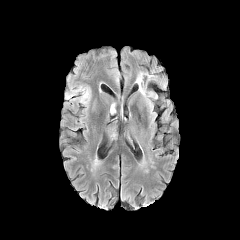
FLAIR MRI.
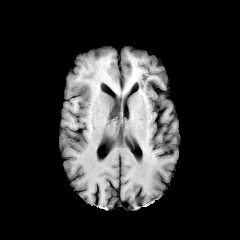
T1-weighted magnetic resonance of the same slice.
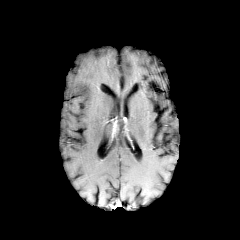
Post-contrast T1-weighted MRI.
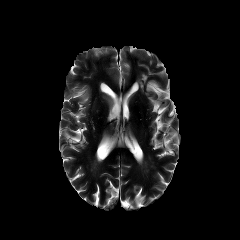
T2-weighted MRI of the same slice.
Axial slice, Head
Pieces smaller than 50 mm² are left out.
<segmentation>
  <peritumoral_edema>box=[79, 88, 89, 103]</peritumoral_edema>
</segmentation>